Axial plane | Image width 240 mm | Head | 240x240 px
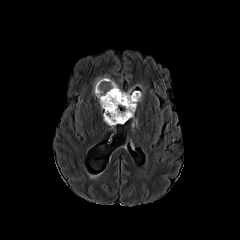
FLAIR MR image.
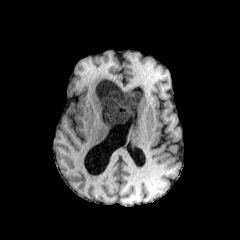
Same slice, T1-weighted MR image.
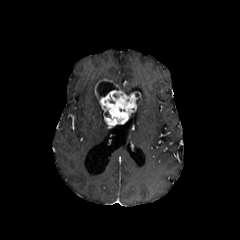
Post-contrast T1-weighted MR image.
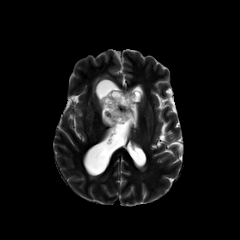
T2-weighted MR.
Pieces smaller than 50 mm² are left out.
The largest necrotic tumor core region appears at {"x1": 97, "y1": 81, "x2": 118, "y2": 98}. The largest peritumoral edema region is at {"x1": 93, "y1": 75, "x2": 110, "y2": 93}. 2 enhancing tumor regions appear at {"x1": 95, "y1": 79, "x2": 112, "y2": 98}, {"x1": 99, "y1": 89, "x2": 140, "y2": 126}.